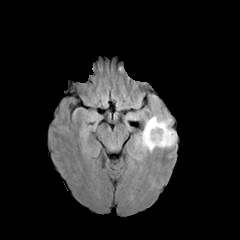
FLAIR MRI.
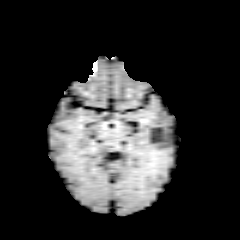
T1-weighted MR.
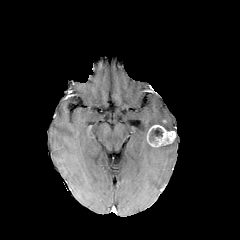
Same slice, post-contrast T1-weighted MRI.
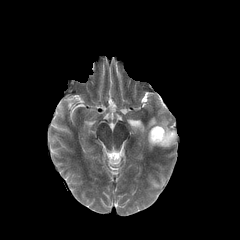
Same slice, T2-weighted MRI.
Head, 240x240 px
The enhancing tumor is located at (x1=147, y1=125, x2=176, y2=146). The peritumoral edema lies within (x1=138, y1=116, x2=175, y2=151). The necrotic tumor core is located at (x1=149, y1=128, x2=163, y2=142).